FLAIR MR image.
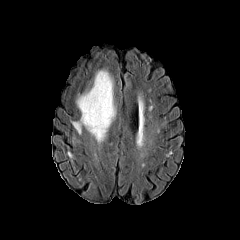
T1-weighted MRI.
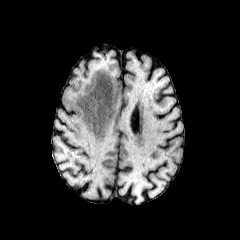
Post-contrast T1-weighted MRI.
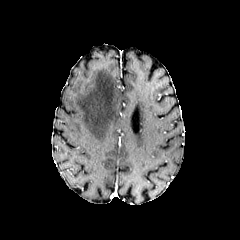
T2-weighted MRI.
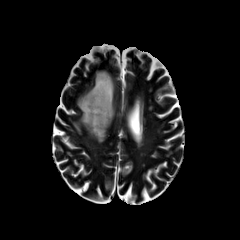
peritumoral edema: (72, 69, 115, 142)